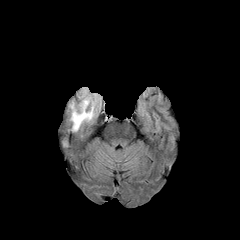
FLAIR MR.
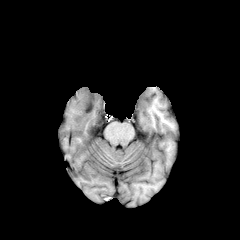
T1-weighted magnetic resonance.
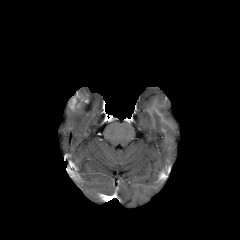
Same slice, post-contrast T1-weighted MRI.
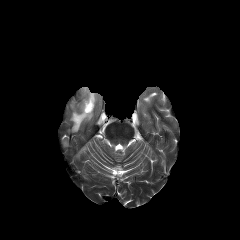
T2-weighted MR of the same slice.
2 enhancing tumor regions are bounded by <box>69,98,80,109</box>, <box>78,93,89,103</box>. The peritumoral edema is located at <box>70,87,101,131</box>.